240x240, Brain, Axial slice
FLAIR MR.
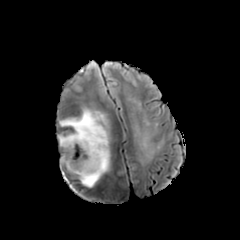
T1-weighted MR.
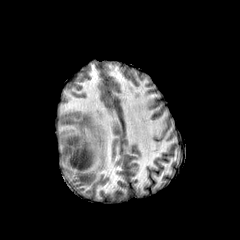
Post-contrast T1-weighted MRI.
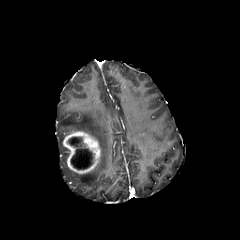
T2-weighted MR.
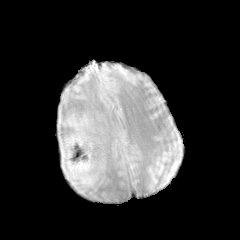
peritumoral edema: (59, 108, 109, 187), (58, 134, 64, 149)
necrotic tumor core: (62, 147, 69, 159), (69, 137, 93, 169)
enhancing tumor: (62, 131, 101, 173)